240x240.
FLAIR magnetic resonance.
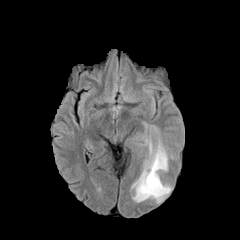
T1-weighted MR image.
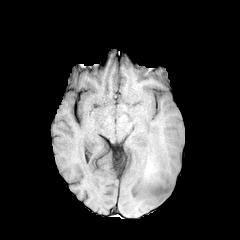
Post-contrast T1-weighted MR.
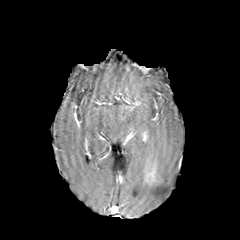
T2-weighted MR.
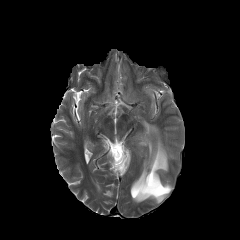
Annotated regions:
• enhancing tumor: l=147, t=172, r=155, b=184
• peritumoral edema: l=131, t=123, r=172, b=203